FLAIR MR image.
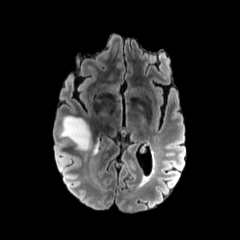
T1-weighted MR.
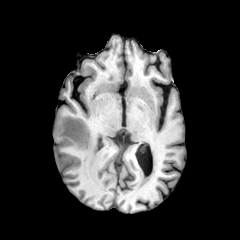
Post-contrast T1-weighted MR.
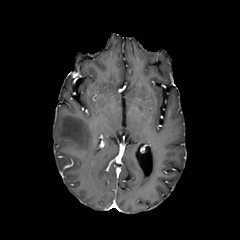
T2-weighted MR image.
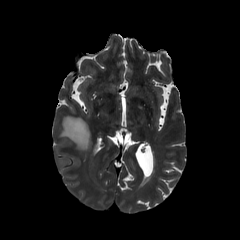
Axial view; 240x240; Brain
Findings:
- peritumoral edema: (left=93, top=139, right=98, bottom=153), (left=58, top=116, right=90, bottom=149)